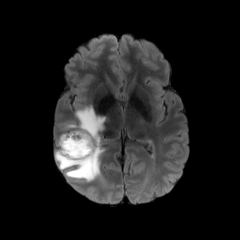
FLAIR MRI.
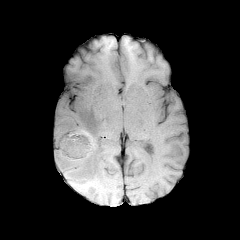
Same slice, T1-weighted magnetic resonance.
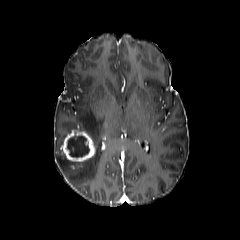
Post-contrast T1-weighted MR image.
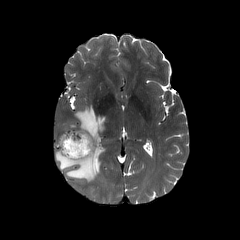
T2-weighted MRI.
240x240 px.
peritumoral edema: {"x1": 54, "y1": 106, "x2": 105, "y2": 182} | necrotic tumor core: {"x1": 67, "y1": 136, "x2": 89, "y2": 157} | enhancing tumor: {"x1": 60, "y1": 130, "x2": 95, "y2": 161}